FLAIR MR.
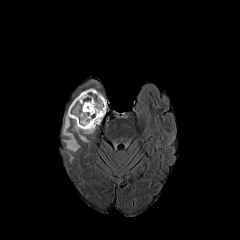
T1-weighted magnetic resonance.
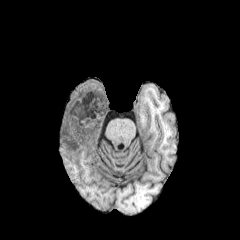
Post-contrast T1-weighted MR.
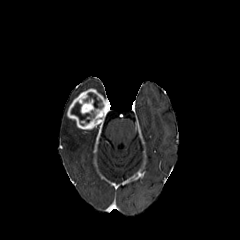
T2-weighted MRI.
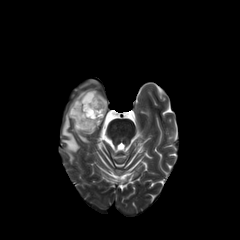
Brain.
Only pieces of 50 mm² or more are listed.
necrotic tumor core: bounding box 83 92 102 108, 71 102 94 122
peritumoral edema: bounding box 62 114 79 161, 72 121 95 142
enhancing tumor: bounding box 67 88 108 130